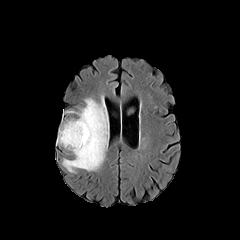
FLAIR MRI.
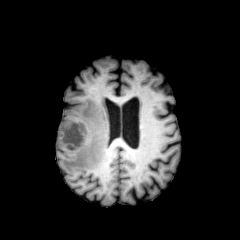
Same slice, T1-weighted MR.
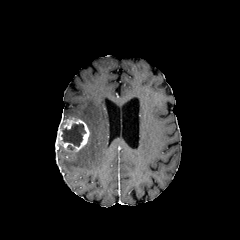
Post-contrast T1-weighted MR.
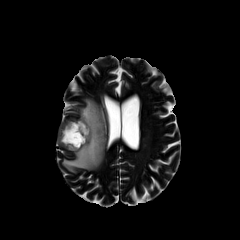
T2-weighted MRI.
Head
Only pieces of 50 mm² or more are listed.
peritumoral edema: [62, 97, 108, 172]
necrotic tumor core: [62, 124, 85, 146]
enhancing tumor: [56, 117, 89, 151]